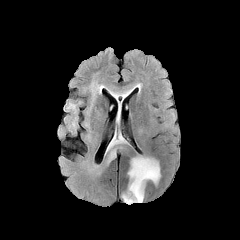
FLAIR MR image.
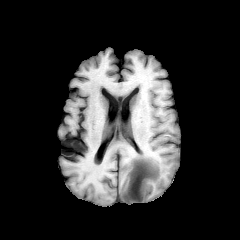
T1-weighted MRI of the same slice.
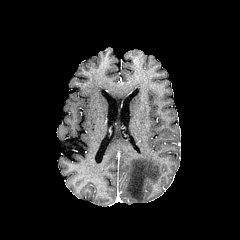
Post-contrast T1-weighted MR.
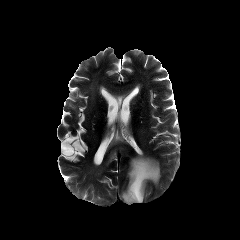
T2-weighted magnetic resonance.
Axial plane. Brain.
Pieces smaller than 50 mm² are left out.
<segmentation>
  <peritumoral_edema>bbox=[106, 149, 116, 166]; bbox=[107, 134, 126, 150]; bbox=[122, 156, 160, 204]; bbox=[117, 102, 120, 121]</peritumoral_edema>
</segmentation>